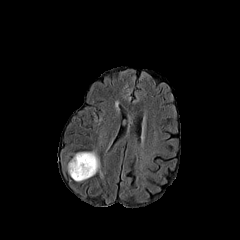
FLAIR MR image.
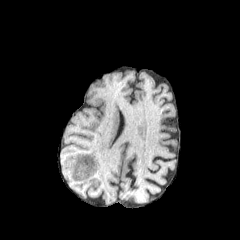
T1-weighted MRI.
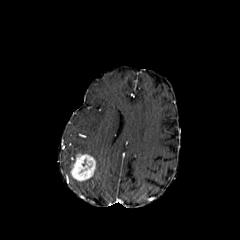
Same slice, post-contrast T1-weighted MRI.
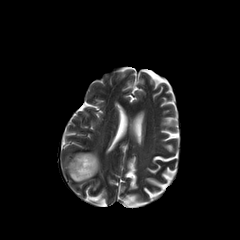
T2-weighted MR.
Axial plane
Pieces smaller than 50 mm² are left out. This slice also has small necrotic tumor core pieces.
<segmentation>
  <enhancing_tumor>box(70, 154, 96, 181)</enhancing_tumor>
  <peritumoral_edema>box(67, 151, 103, 177)</peritumoral_edema>
</segmentation>